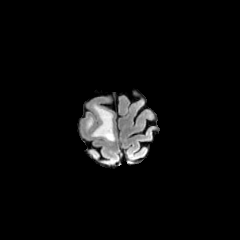
FLAIR MR.
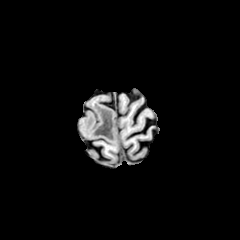
T1-weighted MRI.
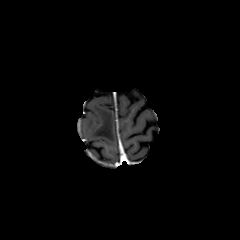
Post-contrast T1-weighted magnetic resonance.
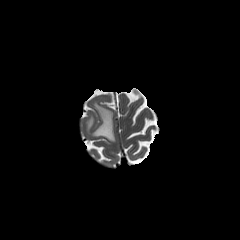
T2-weighted MR.
Head
Annotated regions:
* peritumoral edema: <box>85,103,115,141</box>